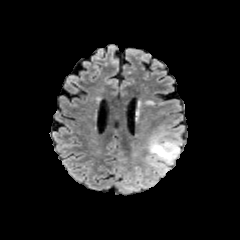
FLAIR MRI.
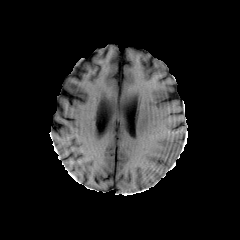
T1-weighted MR.
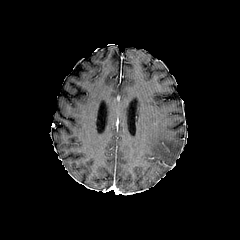
Same slice, post-contrast T1-weighted MR.
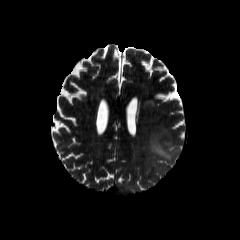
T2-weighted MRI of the same slice.
Head
The peritumoral edema lies within 148 133 179 171.